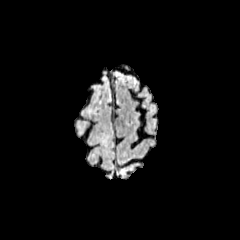
FLAIR MRI.
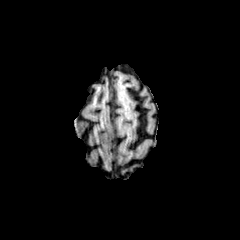
Same slice, T1-weighted magnetic resonance.
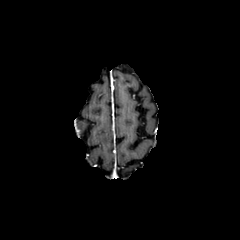
Post-contrast T1-weighted MRI.
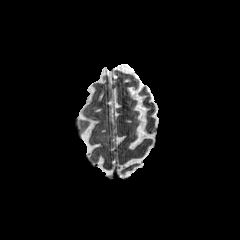
T2-weighted MRI of the same slice.
Image size 240x240
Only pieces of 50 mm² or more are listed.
peritumoral_edema:
  - (left=101, top=135, right=110, bottom=145)